FLAIR MR image.
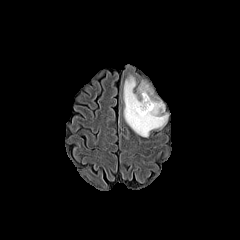
T1-weighted MR image.
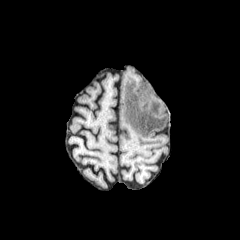
Post-contrast T1-weighted MR.
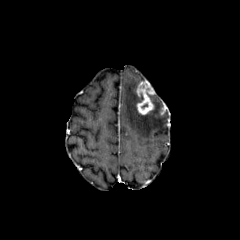
T2-weighted MR image.
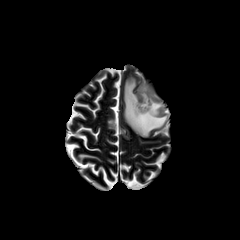
Brain
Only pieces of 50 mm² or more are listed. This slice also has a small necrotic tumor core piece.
The largest enhancing tumor region appears at rect(136, 80, 154, 114). The peritumoral edema is located at rect(123, 76, 168, 137).